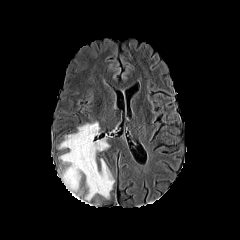
FLAIR magnetic resonance.
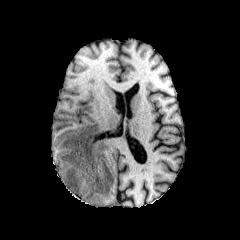
Same slice, T1-weighted MR.
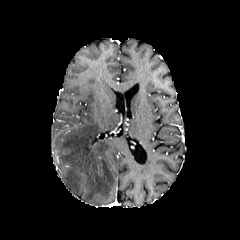
Post-contrast T1-weighted MR.
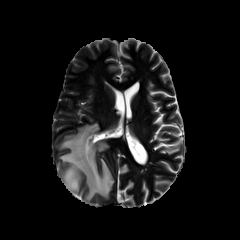
T2-weighted MRI of the same slice.
Head. Axial slice.
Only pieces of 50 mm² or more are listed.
peritumoral edema = bbox=[59, 122, 114, 201]